Axial view; Head; Image width 240 mm, 1.00 mm slice spacing
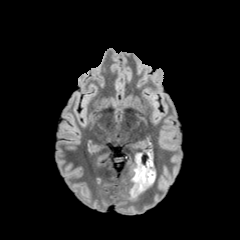
FLAIR MR.
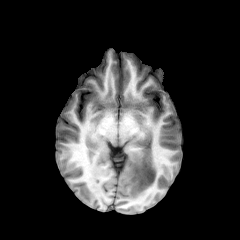
T1-weighted MR image.
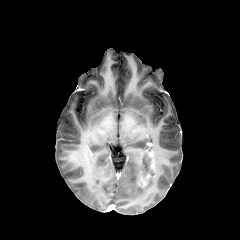
Same slice, post-contrast T1-weighted MRI.
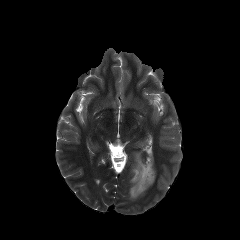
T2-weighted MR image.
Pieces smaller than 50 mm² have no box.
{"necrotic_tumor_core": ["x1=142, y1=156, x2=150, y2=171"], "peritumoral_edema": ["x1=129, y1=152, x2=154, y2=198"], "enhancing_tumor": ["x1=136, y1=150, x2=155, y2=187"]}